FLAIR MRI.
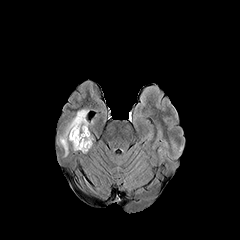
T1-weighted MR image.
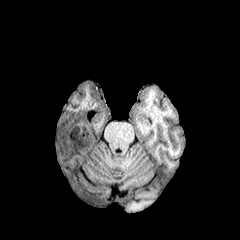
Post-contrast T1-weighted MR image.
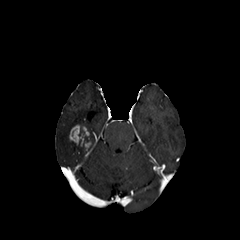
T2-weighted MR image.
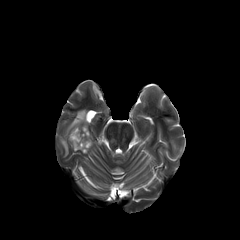
Brain, Image size 240x240
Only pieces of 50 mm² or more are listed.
peritumoral edema: (x1=59, y1=109, x2=89, y2=156) | enhancing tumor: (x1=69, y1=124, x2=91, y2=151)